FLAIR MRI.
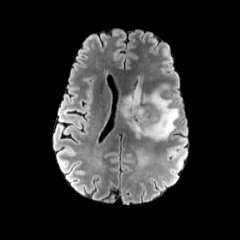
T1-weighted MR image.
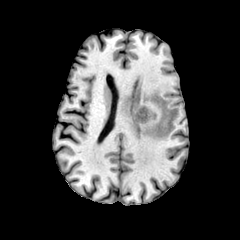
Post-contrast T1-weighted MRI.
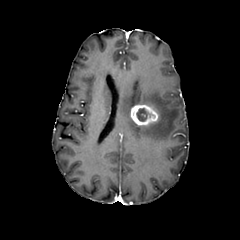
T2-weighted MR image.
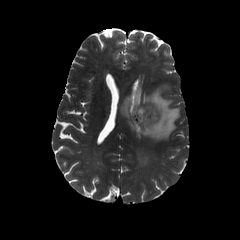
Axial view
necrotic tumor core = 136,108,148,121
enhancing tumor = 130,104,158,125
peritumoral edema = 121,84,179,140